Slice 36 of 155, Head
FLAIR MRI.
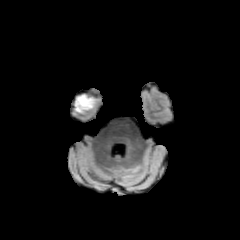
T1-weighted MR image.
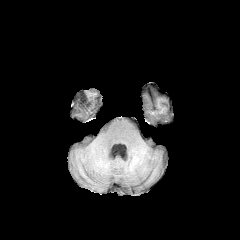
Post-contrast T1-weighted MR image.
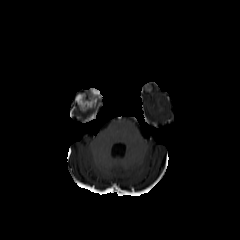
T2-weighted MR image.
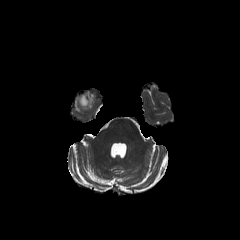
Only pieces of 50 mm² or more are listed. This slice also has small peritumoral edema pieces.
<segmentation>
  <enhancing_tumor>left=75, top=88, right=101, bottom=111</enhancing_tumor>
</segmentation>